Slice 105/155; Axial plane; Head
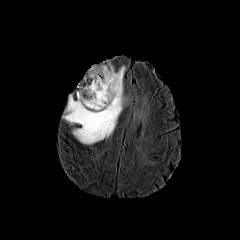
FLAIR magnetic resonance.
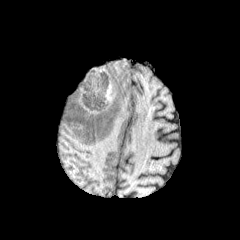
T1-weighted MR.
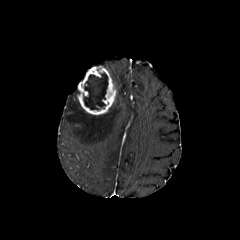
Post-contrast T1-weighted magnetic resonance.
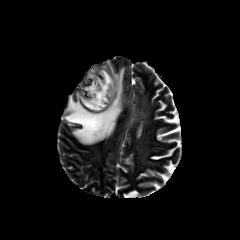
Same slice, T2-weighted MR.
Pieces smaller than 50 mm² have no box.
enhancing tumor — x1=77 y1=65 x2=116 y2=115
necrotic tumor core — x1=83 y1=72 x2=108 y2=110
peritumoral edema — x1=63 y1=63 x2=127 y2=144